FLAIR MRI.
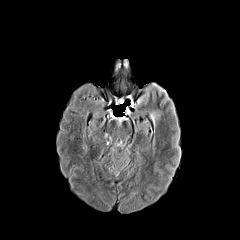
T1-weighted MR.
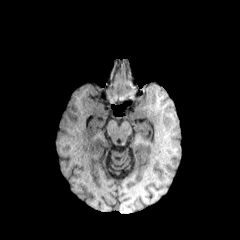
Post-contrast T1-weighted MR.
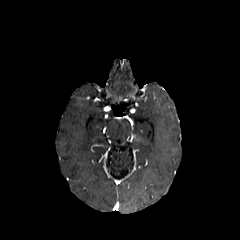
T2-weighted MR image.
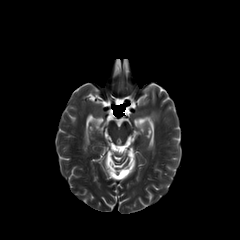
Brain, 240x240 px
The peritumoral edema is located at (150,113,157,126).